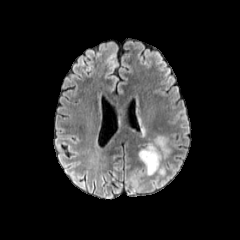
FLAIR magnetic resonance.
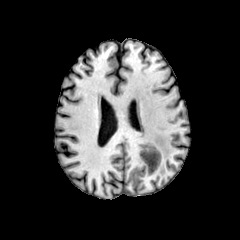
T1-weighted magnetic resonance.
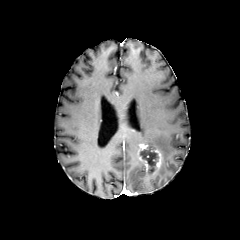
Post-contrast T1-weighted MR.
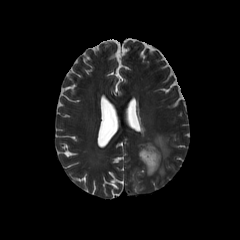
T2-weighted MRI of the same slice.
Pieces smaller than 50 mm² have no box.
The largest enhancing tumor region appears at 139:145:162:175. The 2 largest peritumoral edema regions appear at 158:165:165:174, 147:136:171:158. The necrotic tumor core appears at 141:150:157:172.